Slice 116 of 155. Axial plane.
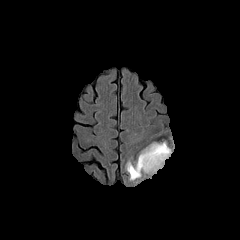
FLAIR magnetic resonance.
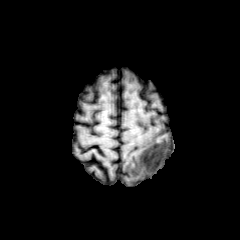
T1-weighted MR image.
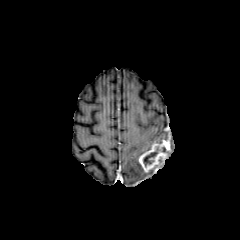
Post-contrast T1-weighted magnetic resonance.
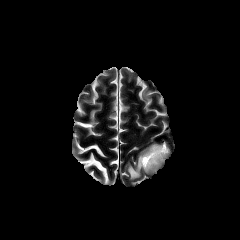
T2-weighted MRI.
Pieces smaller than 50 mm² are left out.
Annotated regions:
- enhancing tumor: 139 141 171 172
- peritumoral edema: 126 157 143 180
- necrotic tumor core: 143 148 158 166